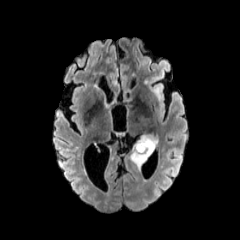
FLAIR MR.
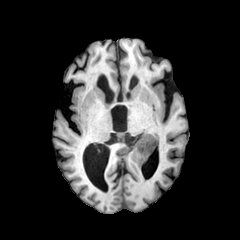
Same slice, T1-weighted magnetic resonance.
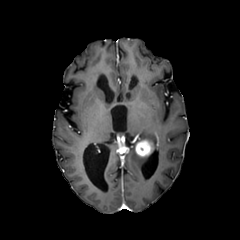
Post-contrast T1-weighted magnetic resonance.
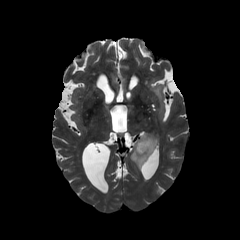
Same slice, T2-weighted magnetic resonance.
peritumoral edema: x1=130 y1=134 x2=158 y2=168
enhancing tumor: x1=135 y1=139 x2=153 y2=156